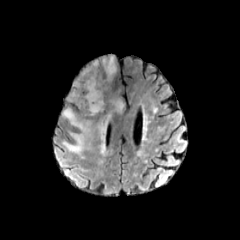
FLAIR magnetic resonance.
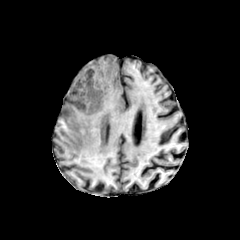
T1-weighted MRI of the same slice.
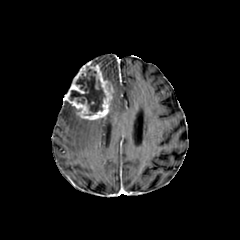
Post-contrast T1-weighted magnetic resonance of the same slice.
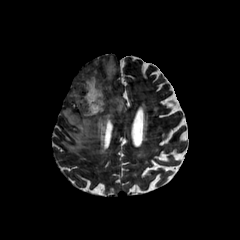
T2-weighted MRI.
Head
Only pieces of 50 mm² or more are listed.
The 4 largest peritumoral edema regions are located at bbox(62, 107, 92, 153); bbox(96, 107, 110, 153); bbox(114, 99, 123, 111); bbox(103, 56, 116, 82). The largest necrotic tumor core region is located at bbox(70, 66, 105, 113). The largest enhancing tumor region is bounded by bbox(65, 62, 113, 120).